FLAIR MR image.
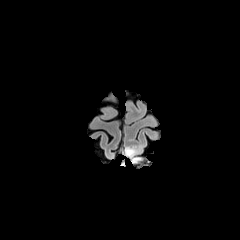
T1-weighted MR.
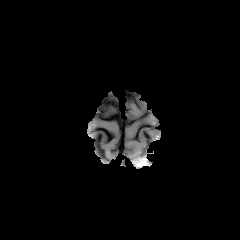
Post-contrast T1-weighted magnetic resonance.
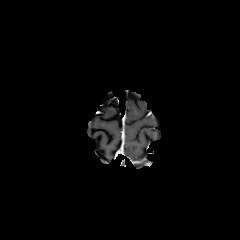
T2-weighted MR image.
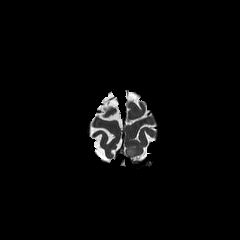
Brain. 240x240 px.
peritumoral edema: x1=125, y1=147, x2=141, y2=160